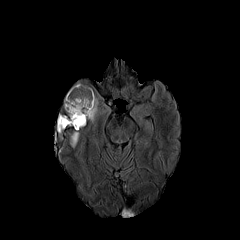
FLAIR MR image.
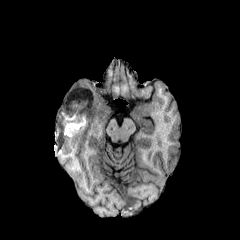
T1-weighted MR.
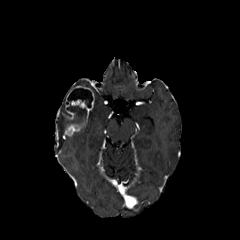
Post-contrast T1-weighted MR image.
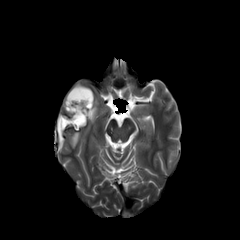
T2-weighted magnetic resonance.
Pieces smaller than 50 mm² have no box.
peritumoral edema: bounding box (70, 132, 79, 147), (88, 97, 98, 123)
necrotic tumor core: bounding box (66, 88, 92, 107), (58, 104, 86, 134)
enhancing tumor: bounding box (65, 85, 94, 135)